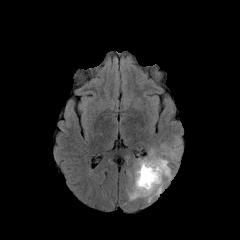
FLAIR MR.
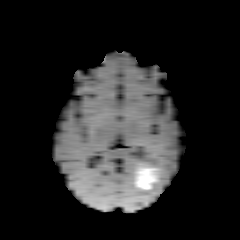
Same slice, T1-weighted MRI.
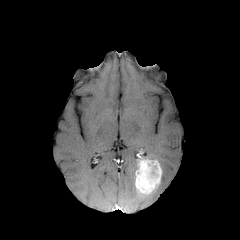
Post-contrast T1-weighted MR image.
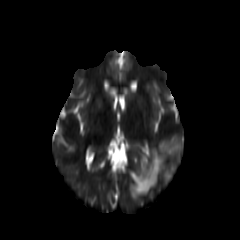
Same slice, T2-weighted MR image.
Image size 240x240 | Head
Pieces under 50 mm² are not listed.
Findings:
- enhancing tumor: box(135, 157, 162, 195)
- peritumoral edema: box(128, 135, 183, 201)